FLAIR MR.
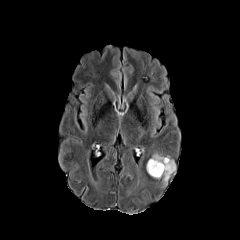
T1-weighted magnetic resonance.
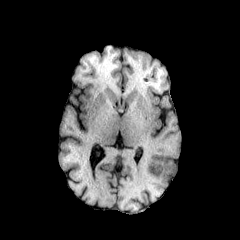
Post-contrast T1-weighted MRI.
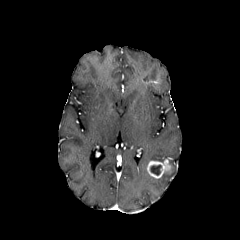
T2-weighted magnetic resonance.
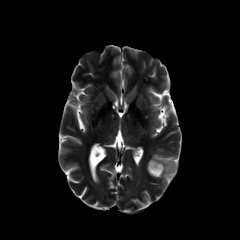
Axial plane; Head
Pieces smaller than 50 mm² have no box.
{
  "enhancing_tumor": [
    "[x1=147, y1=158, x2=171, y2=178]"
  ],
  "necrotic_tumor_core": [
    "[x1=150, y1=165, x2=161, y2=175]"
  ],
  "peritumoral_edema": [
    "[x1=161, y1=160, x2=175, y2=186]",
    "[x1=150, y1=153, x2=169, y2=161]"
  ]
}